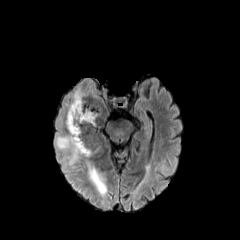
FLAIR MR.
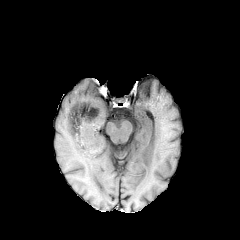
T1-weighted MR.
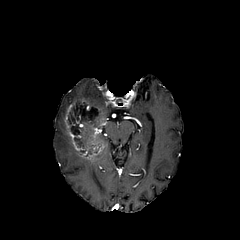
Post-contrast T1-weighted magnetic resonance.
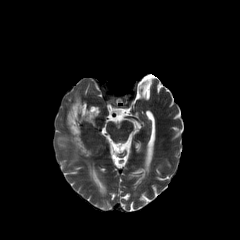
T2-weighted MR image.
Head, Axial plane
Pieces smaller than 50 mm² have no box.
peritumoral_edema:
  - x1=85, y1=159, x2=106, y2=195
  - x1=73, y1=91, x2=80, y2=99
  - x1=56, y1=135, x2=82, y2=164
enhancing_tumor:
  - x1=63, y1=98, x2=106, y2=160
necrotic_tumor_core:
  - x1=74, y1=137, x2=82, y2=147
  - x1=68, y1=105, x2=98, y2=134